FLAIR MR.
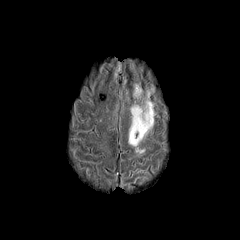
T1-weighted MR.
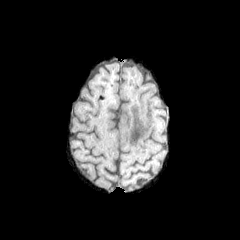
Post-contrast T1-weighted MR.
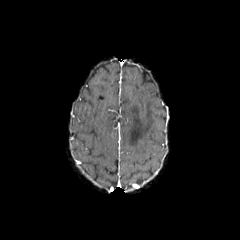
T2-weighted MRI.
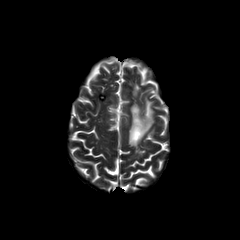
Axial plane, 240x240 px
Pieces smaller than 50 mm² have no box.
peritumoral edema at <bbox>133, 85, 141, 98</bbox>, <bbox>128, 93, 154, 146</bbox>